Slice index 109. Axial slice. Brain.
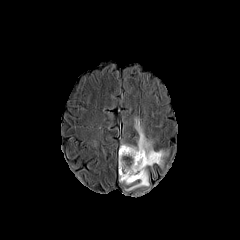
FLAIR MR.
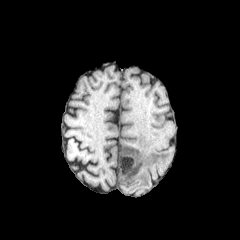
T1-weighted MR image of the same slice.
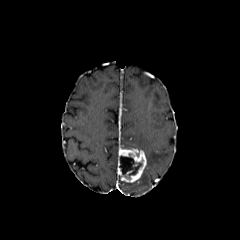
Post-contrast T1-weighted magnetic resonance of the same slice.
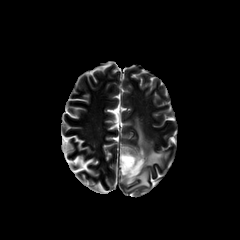
T2-weighted magnetic resonance.
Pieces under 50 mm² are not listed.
necrotic tumor core — x1=120 y1=156 x2=142 y2=175
peritumoral edema — x1=121 y1=117 x2=169 y2=191
enhancing tumor — x1=118 y1=148 x2=146 y2=182